Image width 240 mm, 1.00 mm slice spacing; 240x240; Brain; Axial slice
FLAIR MRI.
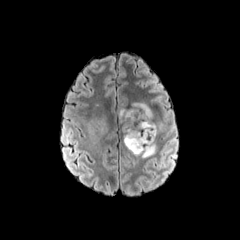
T1-weighted MR.
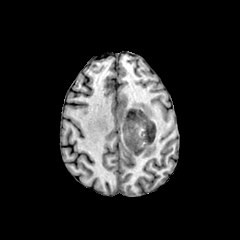
Post-contrast T1-weighted magnetic resonance.
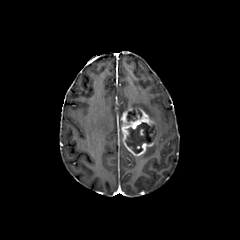
T2-weighted MR image.
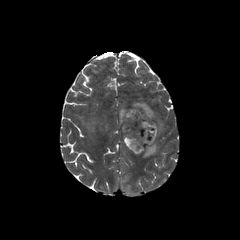
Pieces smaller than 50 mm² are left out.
peritumoral edema: l=141, t=143, r=156, b=157; l=118, t=107, r=127, b=124; l=131, t=102, r=154, b=119
necrotic tumor core: l=125, t=122, r=153, b=153; l=127, t=110, r=141, b=121
enhancing tumor: l=120, t=108, r=154, b=156